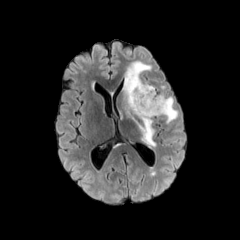
FLAIR MRI.
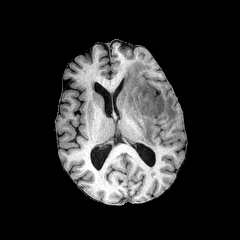
T1-weighted MRI.
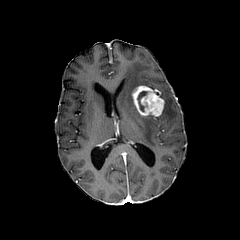
Post-contrast T1-weighted magnetic resonance.
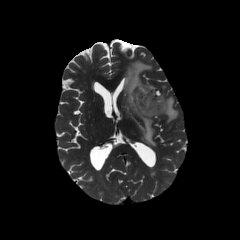
T2-weighted MR.
Brain | 240x240 px
enhancing_tumor:
  - 132, 85, 164, 116
peritumoral_edema:
  - 123, 61, 155, 146
  - 160, 94, 178, 123
necrotic_tumor_core:
  - 137, 91, 147, 111